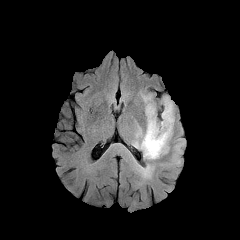
FLAIR magnetic resonance.
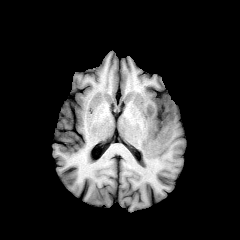
T1-weighted MR image.
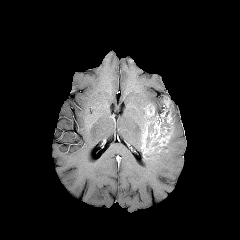
Post-contrast T1-weighted magnetic resonance of the same slice.
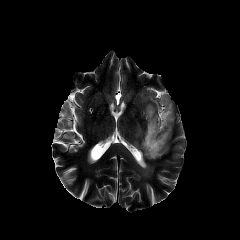
T2-weighted MRI of the same slice.
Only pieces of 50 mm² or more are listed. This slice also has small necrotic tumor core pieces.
The enhancing tumor is at x1=141, y1=96, x2=173, y2=153. The 4 largest peritumoral edema regions appear at x1=140, y1=143, x2=169, y2=176; x1=170, y1=100, x2=174, y2=139; x1=141, y1=94, x2=160, y2=117; x1=133, y1=126, x2=143, y2=152.